Axial slice.
FLAIR MR image.
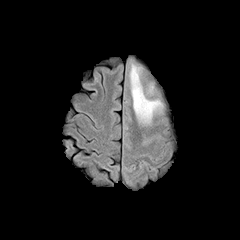
T1-weighted MR image.
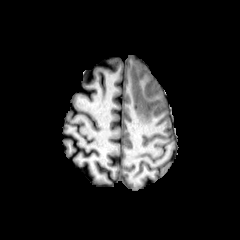
Post-contrast T1-weighted MRI.
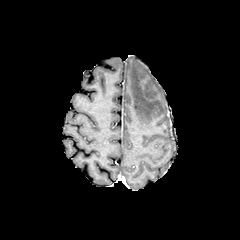
T2-weighted MR.
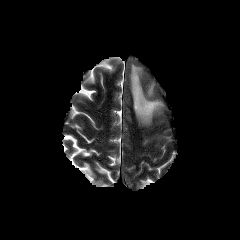
peritumoral edema: bbox=[145, 81, 155, 96]; bbox=[129, 63, 162, 124]